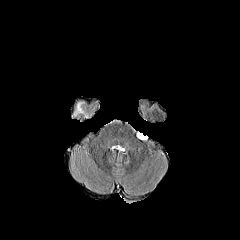
FLAIR MR image.
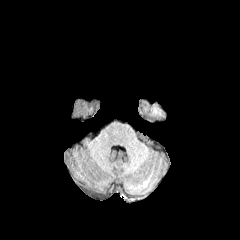
T1-weighted MR image.
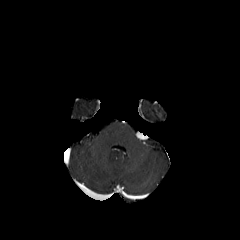
Post-contrast T1-weighted MRI.
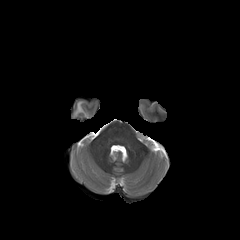
T2-weighted magnetic resonance.
Axial plane, Brain
peritumoral edema: bounding box box(75, 102, 82, 114)